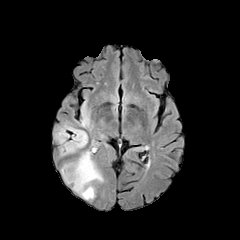
FLAIR MR image.
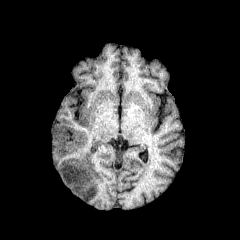
T1-weighted MRI of the same slice.
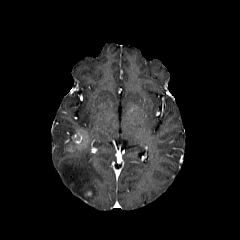
Post-contrast T1-weighted MRI of the same slice.
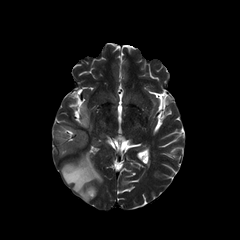
T2-weighted MR of the same slice.
Brain
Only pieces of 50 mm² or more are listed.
The 3 largest peritumoral edema regions are bounded by [x1=80, y1=104, x2=90, y2=127], [x1=61, y1=150, x2=103, y2=199], [x1=54, y1=122, x2=77, y2=156]. The largest enhancing tumor region lies within [x1=66, y1=129, x2=88, y2=151].